Slice 67/155; Brain
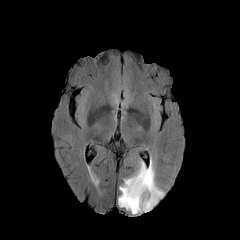
FLAIR MRI.
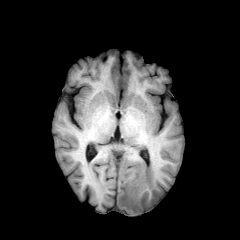
T1-weighted MR image of the same slice.
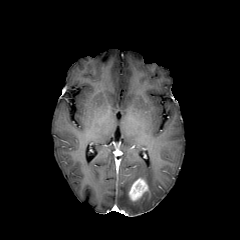
Post-contrast T1-weighted MR image.
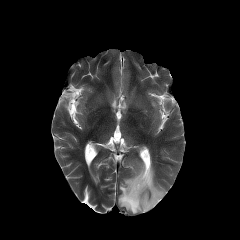
Same slice, T2-weighted magnetic resonance.
The enhancing tumor is bounded by <box>128,178,148,201</box>. The peritumoral edema is bounded by <box>118,160,164,214</box>.